FLAIR MR.
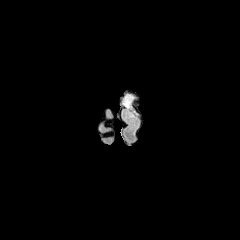
T1-weighted MR.
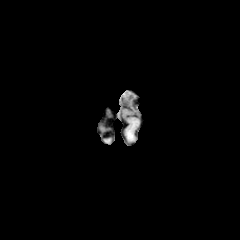
Post-contrast T1-weighted MR image.
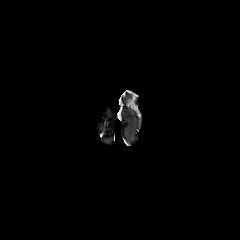
T2-weighted MR.
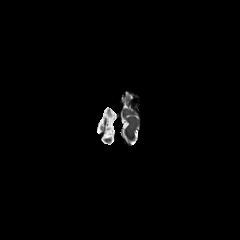
Head
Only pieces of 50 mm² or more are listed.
<segmentation>
  <enhancing_tumor>127:97:134:108</enhancing_tumor>
  <peritumoral_edema>123:95:131:109</peritumoral_edema>
</segmentation>